Axial slice. 240x240. Head.
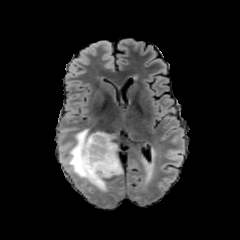
FLAIR MR.
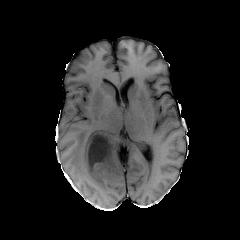
T1-weighted magnetic resonance of the same slice.
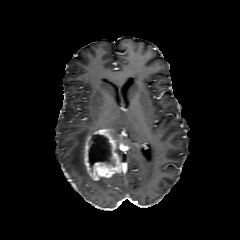
Post-contrast T1-weighted MR image.
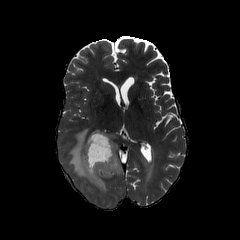
T2-weighted MR.
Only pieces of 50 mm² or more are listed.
enhancing tumor at [84,128,123,180]
necrotic tumor core at [88,134,111,169]
peritumoral edema at [66,129,109,190]